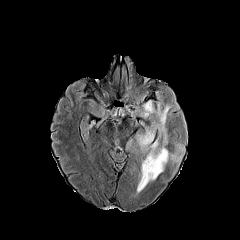
FLAIR MR image.
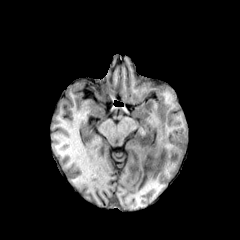
Same slice, T1-weighted magnetic resonance.
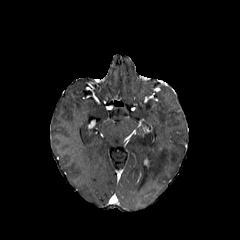
Post-contrast T1-weighted MRI.
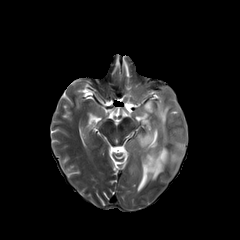
T2-weighted MR image.
240x240 px
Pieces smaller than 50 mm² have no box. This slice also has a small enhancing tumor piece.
2 peritumoral edema regions appear at <bbox>141, 99, 155, 118</bbox>, <bbox>135, 103, 185, 192</bbox>.